Head, Image covers 240 mm x 240 mm, Slice 64 of 155
FLAIR MR.
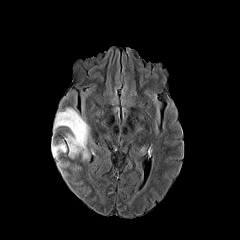
T1-weighted magnetic resonance.
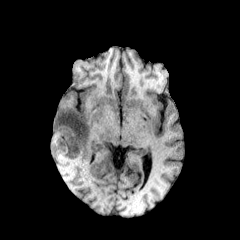
Post-contrast T1-weighted magnetic resonance.
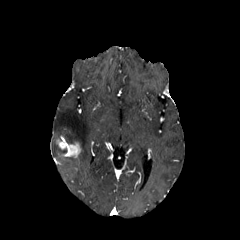
T2-weighted magnetic resonance.
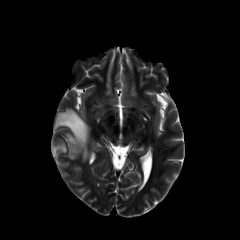
Findings:
• peritumoral edema: <bbox>51, 142, 66, 158</bbox>, <bbox>59, 162, 69, 169</bbox>, <bbox>53, 108, 89, 160</bbox>
• enhancing tumor: <bbox>67, 142, 81, 157</bbox>, <bbox>57, 141, 67, 151</bbox>